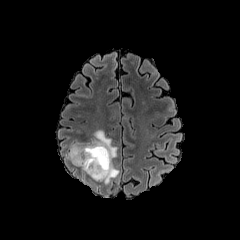
FLAIR MRI.
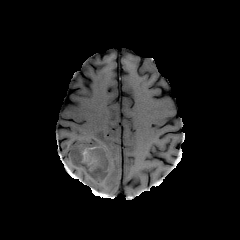
Same slice, T1-weighted MR.
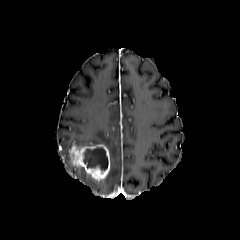
Post-contrast T1-weighted MR image.
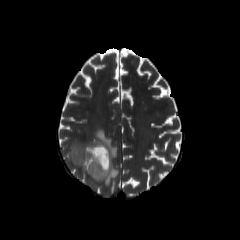
T2-weighted magnetic resonance of the same slice.
Brain
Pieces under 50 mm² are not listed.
necrotic tumor core: region(83, 147, 107, 169)
peritumoral edema: region(69, 130, 119, 184)
enhancing tumor: region(69, 144, 110, 181)